FLAIR MR image.
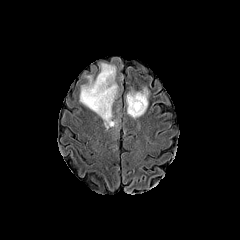
T1-weighted magnetic resonance.
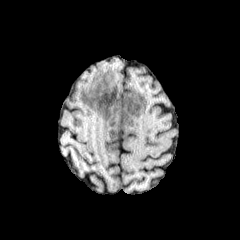
Post-contrast T1-weighted magnetic resonance.
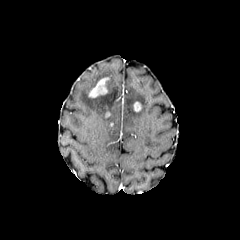
T2-weighted MR image.
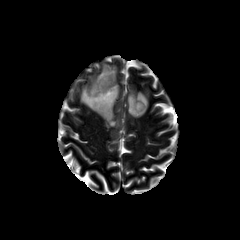
Image size 240x240
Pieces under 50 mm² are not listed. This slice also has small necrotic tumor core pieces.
peritumoral edema: region(79, 63, 118, 129); region(126, 88, 148, 118) | enhancing tumor: region(133, 102, 141, 111); region(88, 77, 109, 97)